Image covers 240 mm x 240 mm. Slice 106 of 155. 240x240 px.
FLAIR MRI.
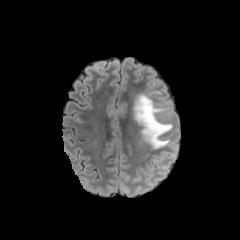
T1-weighted magnetic resonance.
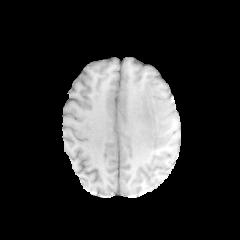
Post-contrast T1-weighted MR image.
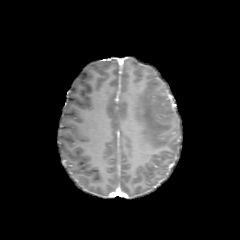
T2-weighted magnetic resonance.
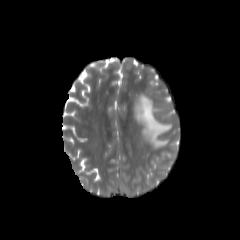
The peritumoral edema is located at (left=133, top=93, right=171, bottom=148).